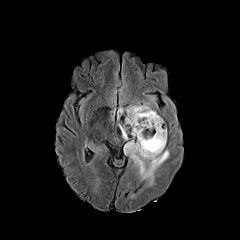
FLAIR MR image.
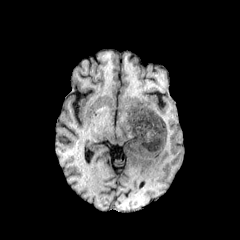
T1-weighted MRI of the same slice.
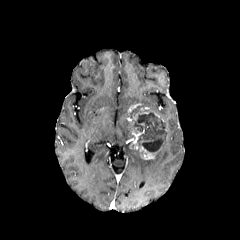
Same slice, post-contrast T1-weighted MR image.
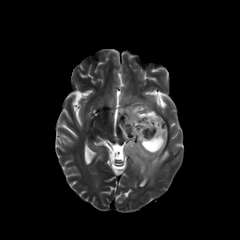
T2-weighted MR image of the same slice.
Axial view; Brain
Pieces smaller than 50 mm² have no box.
necrotic tumor core: bounding box {"x1": 128, "y1": 106, "x2": 141, "y2": 118}, {"x1": 132, "y1": 112, "x2": 165, "y2": 152}
enhancing tumor: bounding box {"x1": 127, "y1": 103, "x2": 140, "y2": 114}, {"x1": 127, "y1": 107, "x2": 162, "y2": 159}
peritumoral edema: bounding box {"x1": 119, "y1": 105, "x2": 130, "y2": 114}, {"x1": 124, "y1": 131, "x2": 169, "y2": 186}, {"x1": 119, "y1": 123, "x2": 128, "y2": 140}, {"x1": 93, "y1": 177, "x2": 100, "y2": 189}, {"x1": 87, "y1": 142, "x2": 101, "y2": 159}